Image width 240 mm. Brain. Axial view.
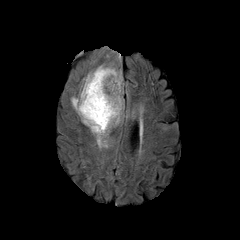
FLAIR MR image.
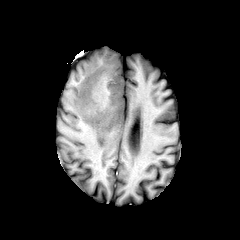
T1-weighted magnetic resonance.
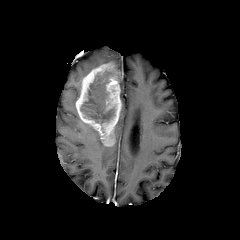
Post-contrast T1-weighted MRI of the same slice.
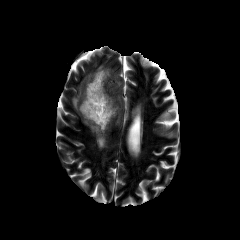
Same slice, T2-weighted MR.
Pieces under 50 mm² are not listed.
peritumoral edema: l=84, t=123, r=107, b=148; l=71, t=85, r=80, b=114
enhancing tumor: l=75, t=62, r=122, b=146
necrotic tumor core: l=80, t=71, r=114, b=123